Axial slice; Slice 40/155; Head
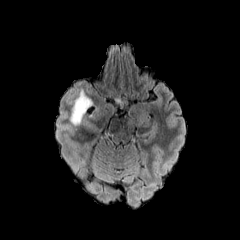
FLAIR MR.
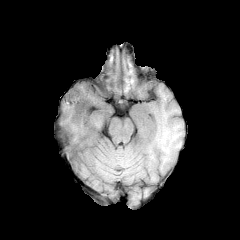
Same slice, T1-weighted MR image.
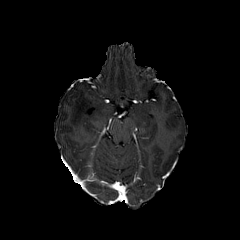
Post-contrast T1-weighted MR.
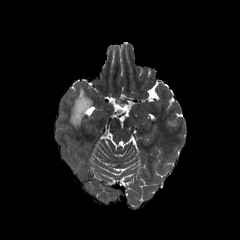
T2-weighted MR.
{
  "peritumoral_edema": [
    "115, 98, 123, 108",
    "70, 89, 93, 125"
  ]
}